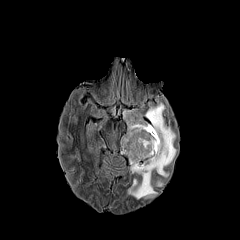
FLAIR MR image.
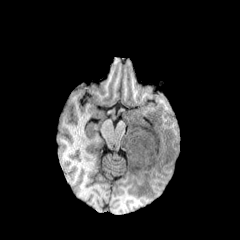
T1-weighted magnetic resonance of the same slice.
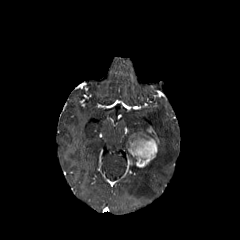
Post-contrast T1-weighted MRI of the same slice.
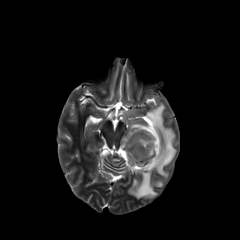
Same slice, T2-weighted magnetic resonance.
Axial view, Brain
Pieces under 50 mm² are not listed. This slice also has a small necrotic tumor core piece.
{"enhancing_tumor": ["x1=127 y1=126 x2=159 y2=167"], "peritumoral_edema": ["x1=125 y1=102 x2=176 y2=199", "x1=121 y1=111 x2=154 y2=148"]}